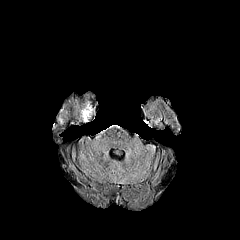
FLAIR magnetic resonance.
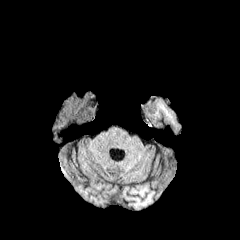
T1-weighted MRI.
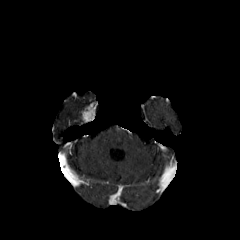
Post-contrast T1-weighted MR.
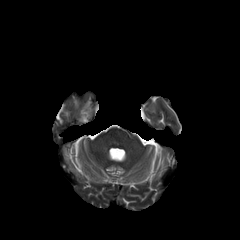
Same slice, T2-weighted MR.
Axial view
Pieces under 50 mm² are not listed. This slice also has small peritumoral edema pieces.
enhancing tumor at 81,103,97,122